FLAIR MRI.
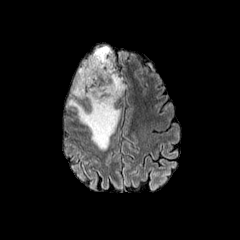
T1-weighted magnetic resonance.
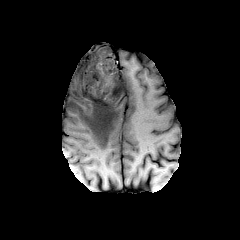
Post-contrast T1-weighted MR image.
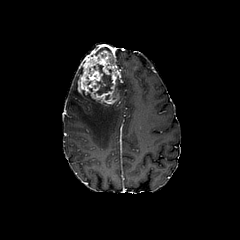
T2-weighted MR.
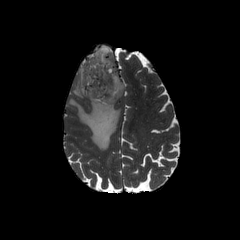
Brain. 240x240 px.
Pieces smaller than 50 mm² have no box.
The largest enhancing tumor region is located at (77,50,120,105). The 3 largest peritumoral edema regions are located at (67,60,120,150), (118,77,125,96), (93,46,108,55). The largest necrotic tumor core region is at (94,64,112,94).